Brain; Axial slice; 240x240 px; Slice 54 of 155
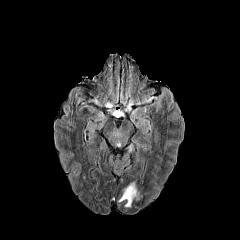
FLAIR MRI.
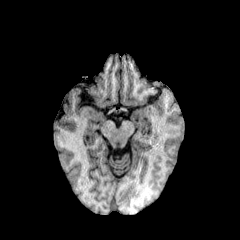
Same slice, T1-weighted MR image.
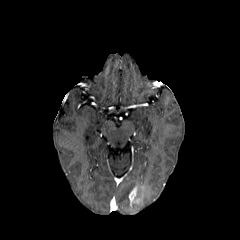
Post-contrast T1-weighted magnetic resonance.
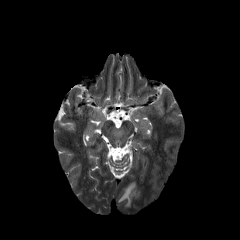
T2-weighted MR image.
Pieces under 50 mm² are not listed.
peritumoral edema: x1=118 y1=180 x2=136 y2=208 | enhancing tumor: x1=129 y1=187 x2=136 y2=204